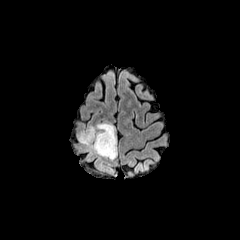
FLAIR MRI.
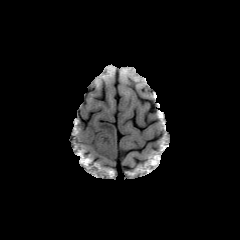
Same slice, T1-weighted MR image.
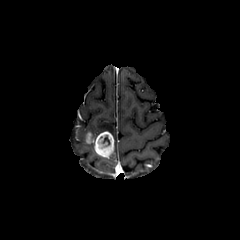
Post-contrast T1-weighted MR image.
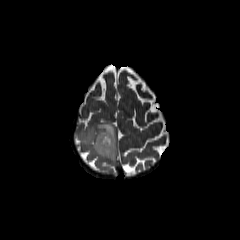
T2-weighted MR of the same slice.
240x240
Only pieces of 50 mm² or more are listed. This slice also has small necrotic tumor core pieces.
Annotated regions:
* enhancing tumor: box(85, 131, 114, 158)
* peritumoral edema: box(88, 122, 116, 159); box(78, 131, 98, 155)